Axial slice. 240x240.
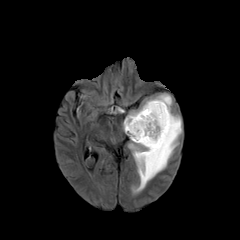
FLAIR MR image.
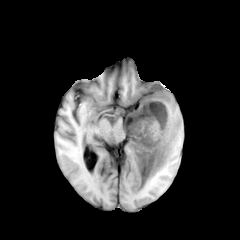
T1-weighted MRI of the same slice.
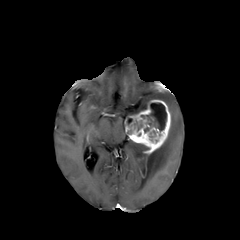
Post-contrast T1-weighted MRI of the same slice.
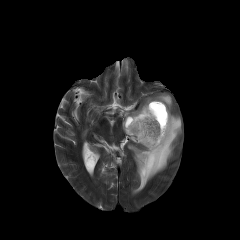
Same slice, T2-weighted MR image.
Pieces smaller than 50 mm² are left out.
enhancing tumor: x1=124 y1=99 x2=171 y2=154 | peritumoral edema: x1=128 y1=93 x2=181 y2=192 | necrotic tumor core: x1=147 y1=103 x2=166 y2=130